Image size 240x240
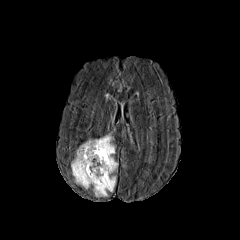
FLAIR magnetic resonance.
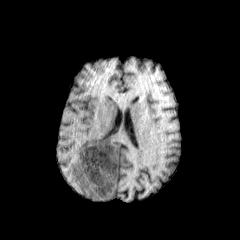
T1-weighted MRI.
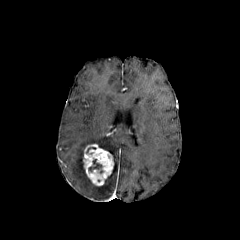
Post-contrast T1-weighted MRI.
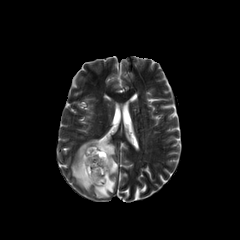
T2-weighted MRI.
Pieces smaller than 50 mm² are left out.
The enhancing tumor appears at 83:144:114:186. The largest peritumoral edema region is bounded by 71:136:115:197. The largest necrotic tumor core region appears at 89:159:101:171.